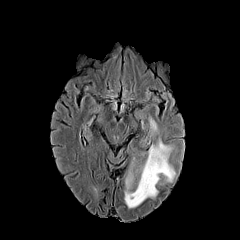
FLAIR MRI.
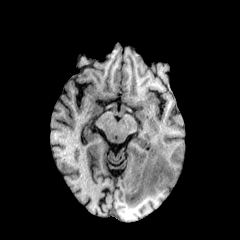
T1-weighted MR image.
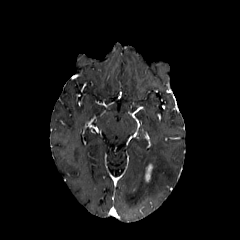
Same slice, post-contrast T1-weighted MRI.
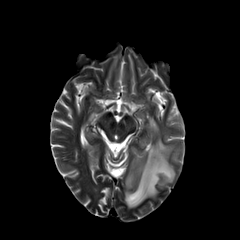
T2-weighted MR.
Brain. Image size 240x240. Axial slice.
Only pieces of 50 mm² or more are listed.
The largest peritumoral edema region appears at rect(124, 117, 175, 208). The enhancing tumor is located at rect(144, 163, 153, 182).